FLAIR magnetic resonance.
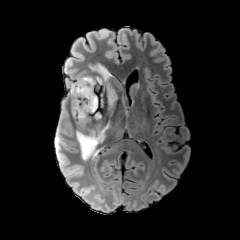
T1-weighted MRI.
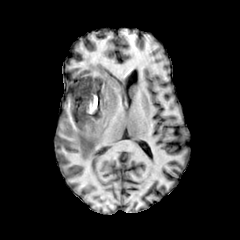
Post-contrast T1-weighted magnetic resonance.
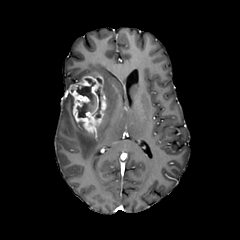
T2-weighted MRI.
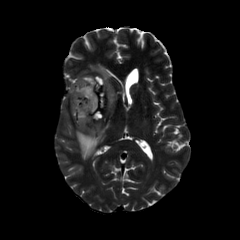
240x240 px. Head.
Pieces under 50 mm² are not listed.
necrotic tumor core = (x1=76, y1=78, x2=96, y2=117)
enhancing tumor = (x1=69, y1=75, x2=107, y2=136)
peritumoral edema = (x1=75, y1=121, x2=109, y2=160), (x1=89, y1=64, x2=117, y2=117)